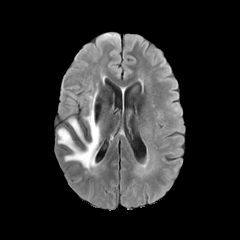
FLAIR magnetic resonance.
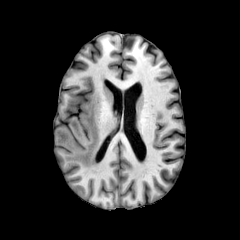
T1-weighted MR image.
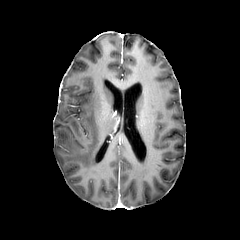
Post-contrast T1-weighted magnetic resonance.
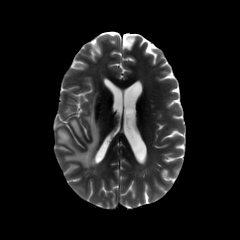
T2-weighted magnetic resonance.
Brain | Axial plane
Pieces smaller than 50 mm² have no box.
Segmented structures:
* peritumoral edema: [58, 93, 100, 170]